Axial view, Image size 240x240
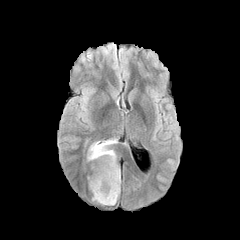
FLAIR magnetic resonance.
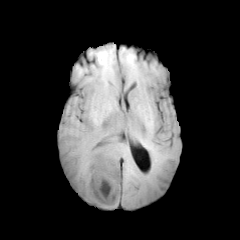
T1-weighted magnetic resonance.
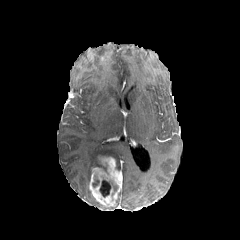
Same slice, post-contrast T1-weighted MRI.
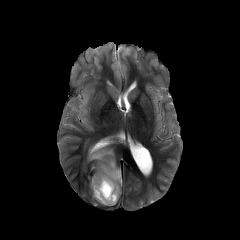
Same slice, T2-weighted MR image.
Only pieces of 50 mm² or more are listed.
<segmentation>
  <peritumoral_edema>x1=87 y1=140 x2=116 y2=160</peritumoral_edema>
  <necrotic_tumor_core>x1=99 y1=179 x2=111 y2=197</necrotic_tumor_core>
  <enhancing_tumor>x1=89 y1=157 x2=122 y2=206</enhancing_tumor>
</segmentation>